FLAIR magnetic resonance.
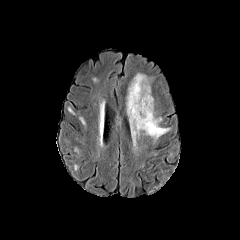
T1-weighted magnetic resonance.
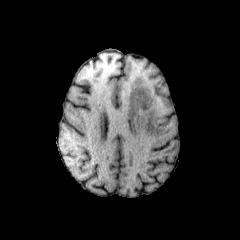
Post-contrast T1-weighted magnetic resonance.
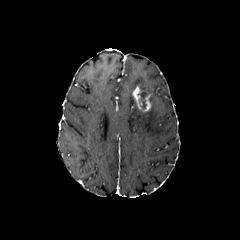
T2-weighted MR image.
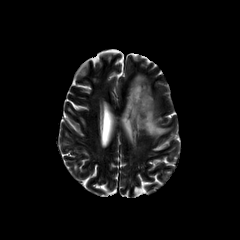
Axial plane. Head.
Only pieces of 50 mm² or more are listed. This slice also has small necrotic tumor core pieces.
The peritumoral edema appears at rect(126, 73, 170, 141). The enhancing tumor lies within rect(132, 85, 151, 112).